FLAIR MRI.
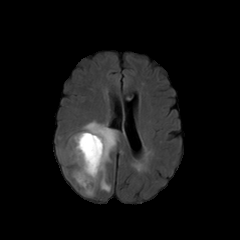
T1-weighted MR image.
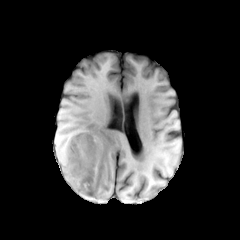
Post-contrast T1-weighted MRI.
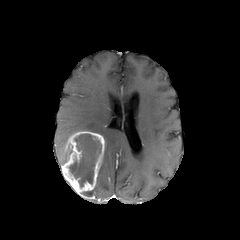
T2-weighted MR image.
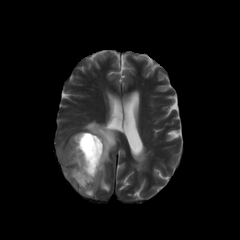
Image size 240x240 | Head
necrotic tumor core: bounding box (69, 134, 101, 186)
enhancing tumor: bounding box (61, 131, 105, 194)
peritumoral edema: bounding box (81, 120, 118, 196), (58, 142, 71, 164)